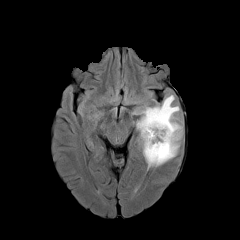
FLAIR MR.
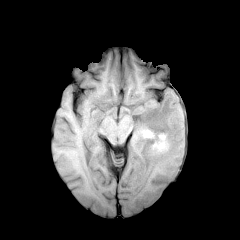
T1-weighted MR image.
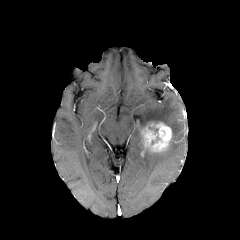
Post-contrast T1-weighted MR image of the same slice.
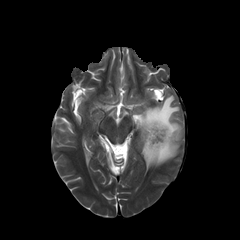
T2-weighted MRI.
240x240 px; Axial slice
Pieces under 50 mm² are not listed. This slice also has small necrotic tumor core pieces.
The peritumoral edema is located at (131, 94, 182, 169). The enhancing tumor appears at (144, 122, 171, 151).